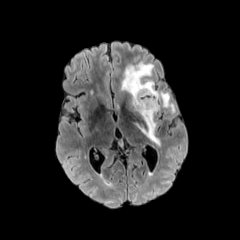
FLAIR MR image.
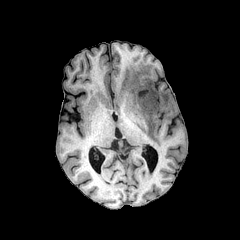
T1-weighted MR.
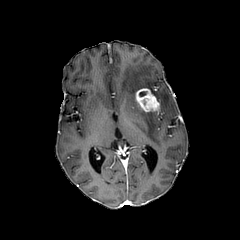
Post-contrast T1-weighted MRI.
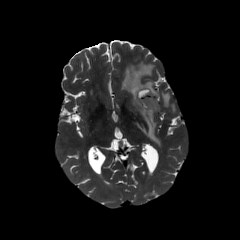
T2-weighted MR.
Brain. 240x240.
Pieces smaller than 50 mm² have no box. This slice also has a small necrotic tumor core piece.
peritumoral edema — x1=121 y1=62 x2=175 y2=145
enhancing tumor — x1=135 y1=88 x2=160 y2=112